FLAIR MR image.
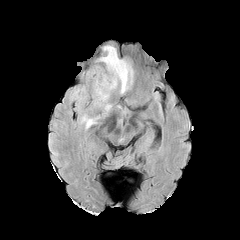
T1-weighted magnetic resonance.
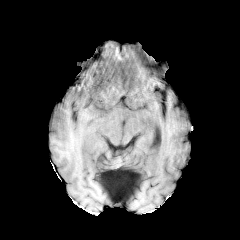
Post-contrast T1-weighted MRI.
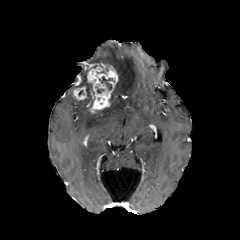
T2-weighted magnetic resonance.
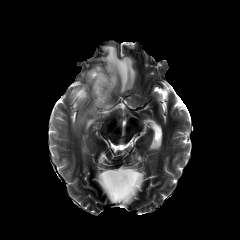
Head.
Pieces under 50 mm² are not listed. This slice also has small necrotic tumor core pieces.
The enhancing tumor is bounded by 72, 64, 118, 113. The 4 largest peritumoral edema regions appear at 99, 46, 134, 93; 80, 113, 100, 129; 70, 90, 87, 104; 101, 103, 112, 116.